Axial slice. 240x240. Image covers 240 mm x 240 mm.
FLAIR MR.
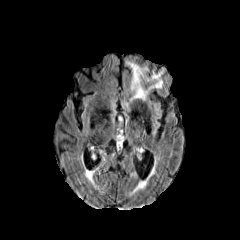
T1-weighted MR.
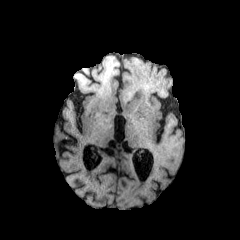
Post-contrast T1-weighted MR image.
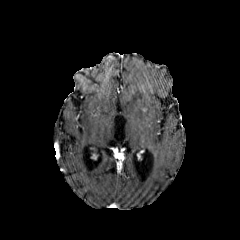
T2-weighted magnetic resonance.
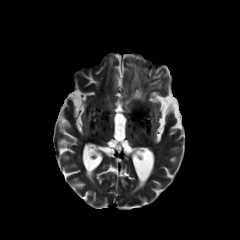
peritumoral edema at box(127, 62, 162, 100)